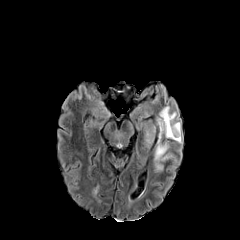
FLAIR MR.
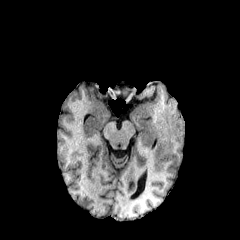
T1-weighted MR of the same slice.
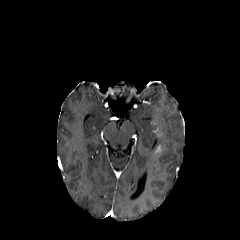
Same slice, post-contrast T1-weighted magnetic resonance.
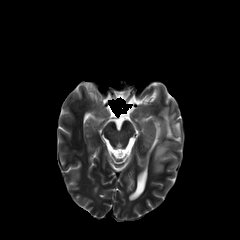
T2-weighted MR.
Axial slice
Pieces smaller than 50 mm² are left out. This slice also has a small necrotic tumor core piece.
{
  "enhancing_tumor": [
    "rect(155, 145, 161, 154)"
  ],
  "peritumoral_edema": [
    "rect(154, 107, 180, 171)"
  ]
}